FLAIR magnetic resonance.
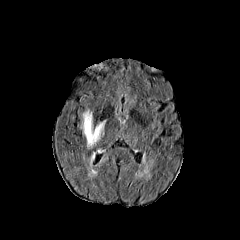
T1-weighted magnetic resonance.
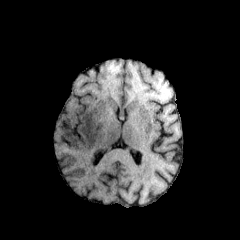
Post-contrast T1-weighted MR.
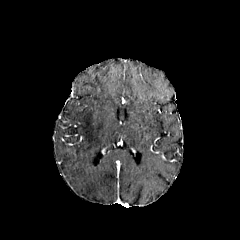
T2-weighted MR.
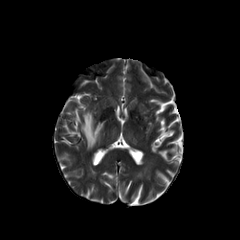
Head. Axial slice. 240x240 px.
peritumoral edema at (left=88, top=148, right=105, bottom=177), (left=81, top=110, right=105, bottom=148)